FLAIR magnetic resonance.
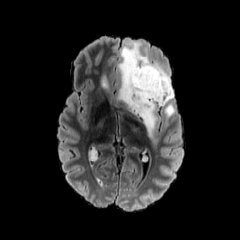
T1-weighted magnetic resonance.
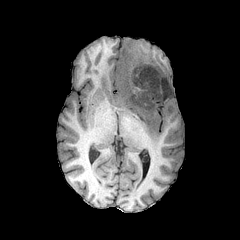
Post-contrast T1-weighted MR.
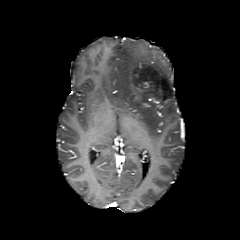
T2-weighted magnetic resonance.
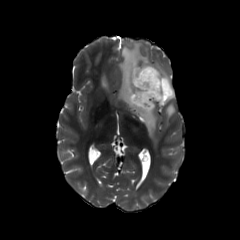
Head
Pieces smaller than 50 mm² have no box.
peritumoral_edema:
  - x1=101 y1=74 x2=108 y2=89
  - x1=117 y1=39 x2=175 y2=137
enhancing_tumor:
  - x1=148 y1=97 x2=162 y2=107
  - x1=130 y1=74 x2=150 y2=100